Image size 240x240. Axial slice. Image width 240 mm.
FLAIR MRI.
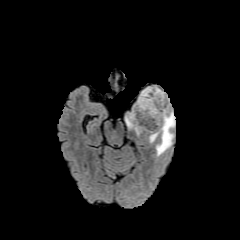
T1-weighted MRI.
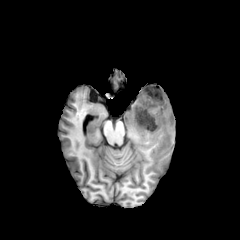
Post-contrast T1-weighted MR image.
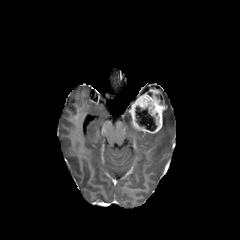
T2-weighted MRI.
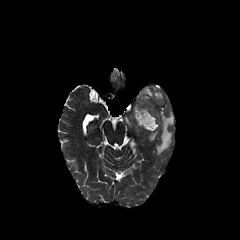
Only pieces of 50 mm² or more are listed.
The enhancing tumor is located at [x1=129, y1=88, x2=166, y2=133]. The largest necrotic tumor core region is at [x1=135, y1=106, x2=156, y2=131]. 2 peritumoral edema regions are located at [x1=125, y1=114, x2=142, y2=135], [x1=149, y1=103, x2=175, y2=155].